FLAIR MR image.
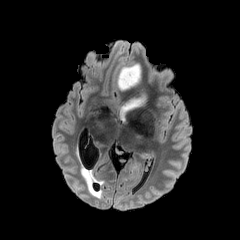
T1-weighted magnetic resonance.
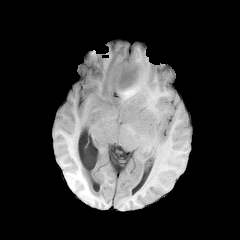
Post-contrast T1-weighted MR.
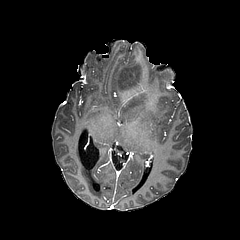
T2-weighted MRI.
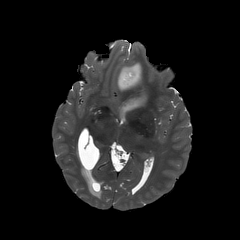
Brain
The necrotic tumor core appears at 121,69,138,85. 2 peritumoral edema regions are located at 117,62,142,89; 119,93,146,120.